FLAIR MRI.
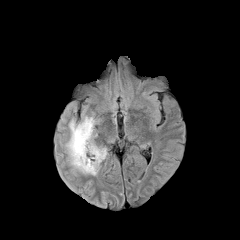
T1-weighted magnetic resonance.
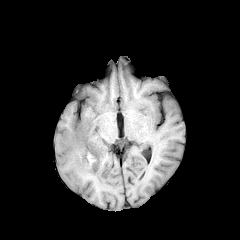
Post-contrast T1-weighted magnetic resonance.
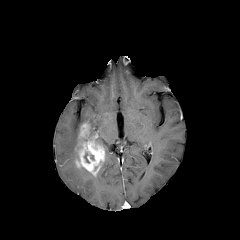
T2-weighted magnetic resonance.
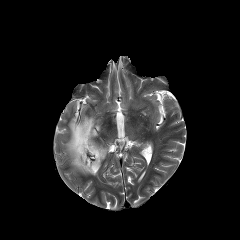
Head; Axial plane
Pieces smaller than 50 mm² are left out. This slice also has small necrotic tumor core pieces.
enhancing tumor = left=75, top=122, right=105, bottom=175
peritumoral edema = left=65, top=115, right=97, bottom=174